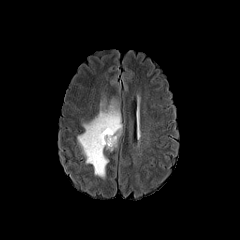
FLAIR MR.
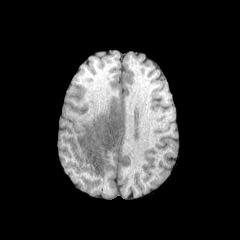
T1-weighted MRI.
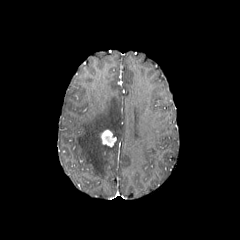
Post-contrast T1-weighted MR image of the same slice.
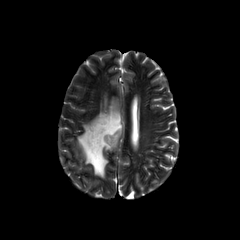
Same slice, T2-weighted MR.
Brain
The enhancing tumor appears at <bbox>100, 130, 116, 147</bbox>. The peritumoral edema appears at <bbox>77, 99, 122, 178</bbox>.